FLAIR MR image.
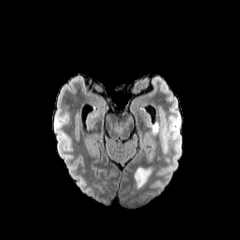
T1-weighted MRI.
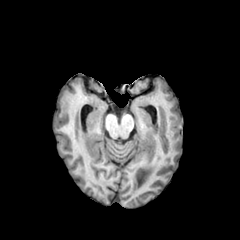
Post-contrast T1-weighted MR image.
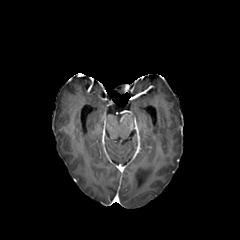
T2-weighted MRI.
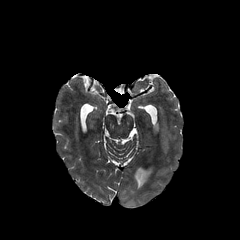
Image size 240x240
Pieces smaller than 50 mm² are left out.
peritumoral edema: left=161, top=126, right=169, bottom=142; left=152, top=123, right=158, bottom=133